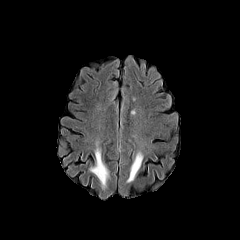
FLAIR MR.
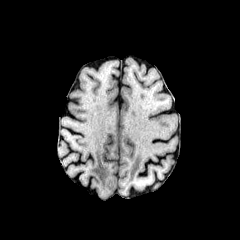
T1-weighted MR image.
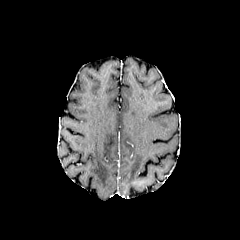
Post-contrast T1-weighted MR.
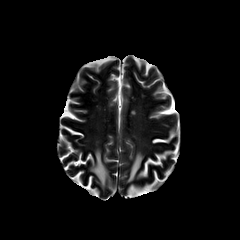
T2-weighted MRI of the same slice.
Axial slice.
<segmentation>
  <peritumoral_edema>x1=89 y1=148 x2=109 y2=188, x1=127 y1=151 x2=143 y2=182</peritumoral_edema>
</segmentation>